FLAIR MR.
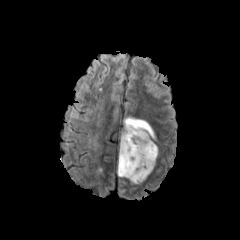
T1-weighted magnetic resonance.
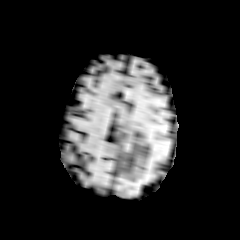
Post-contrast T1-weighted MR.
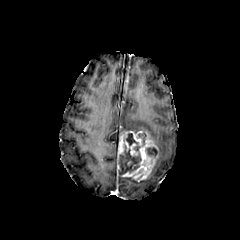
T2-weighted MRI.
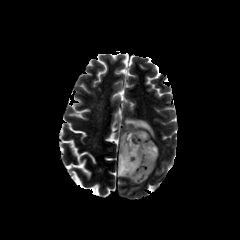
Axial slice
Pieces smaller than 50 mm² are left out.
{
  "peritumoral_edema": [
    "l=123, t=117, r=155, b=139"
  ],
  "necrotic_tumor_core": [
    "l=126, t=133, r=137, b=145",
    "l=119, t=145, r=141, b=174",
    "l=147, t=147, r=157, b=157"
  ],
  "enhancing_tumor": [
    "l=117, t=131, r=158, b=181"
  ]
}